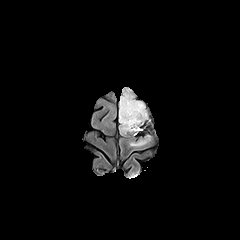
FLAIR MRI.
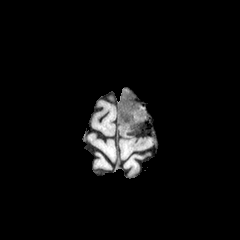
T1-weighted magnetic resonance.
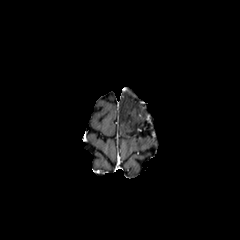
Post-contrast T1-weighted magnetic resonance.
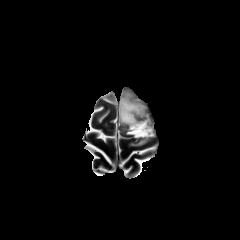
T2-weighted MR.
240x240; Head
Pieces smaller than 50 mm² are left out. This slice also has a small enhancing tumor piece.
• necrotic tumor core: box(132, 124, 142, 134)
• peritumoral edema: box(130, 136, 149, 146); box(119, 89, 147, 133)